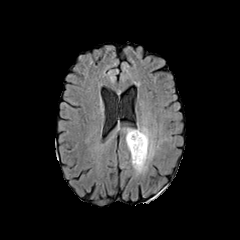
FLAIR MR.
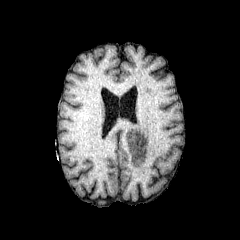
T1-weighted MR image.
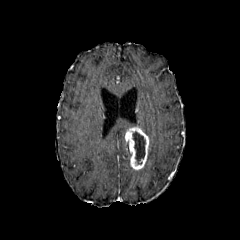
Post-contrast T1-weighted MRI.
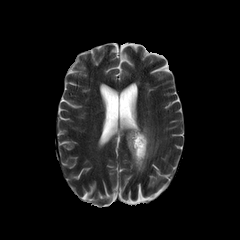
Same slice, T2-weighted MR.
Axial view
The peritumoral edema lies within (left=135, top=126, right=157, bottom=174). The enhancing tumor is located at (left=125, top=127, right=149, bottom=170). The necrotic tumor core is bounded by (left=133, top=132, right=145, bottom=164).